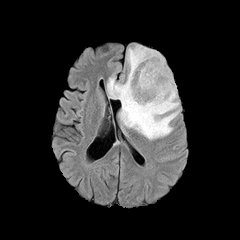
FLAIR MR.
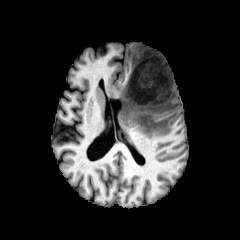
T1-weighted MR.
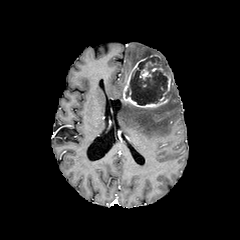
Post-contrast T1-weighted magnetic resonance of the same slice.
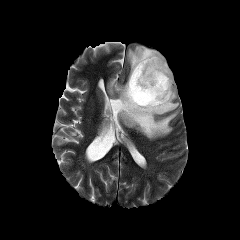
T2-weighted MR of the same slice.
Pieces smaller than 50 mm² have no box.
• necrotic tumor core: l=126, t=56, r=169, b=105
• enhancing tumor: l=122, t=55, r=171, b=108; l=140, t=62, r=156, b=79
• peritumoral edema: l=107, t=45, r=179, b=139